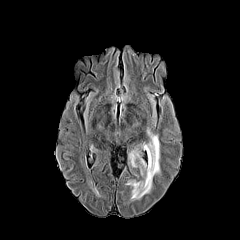
FLAIR MR image.
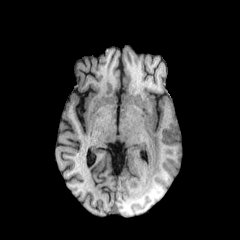
T1-weighted MR.
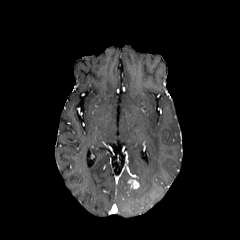
Post-contrast T1-weighted MR.
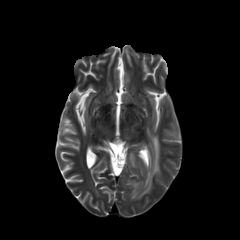
T2-weighted MRI of the same slice.
Head
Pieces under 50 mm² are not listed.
The enhancing tumor is bounded by rect(128, 179, 139, 188). The 2 largest peritumoral edema regions are bounded by rect(129, 151, 138, 166); rect(131, 131, 159, 199).